FLAIR MRI.
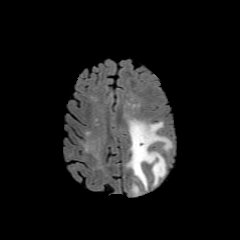
T1-weighted MR image.
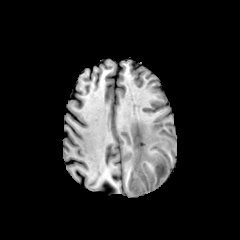
Post-contrast T1-weighted MR.
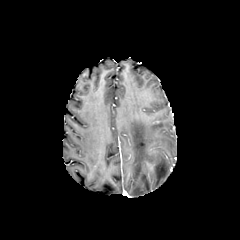
T2-weighted MRI.
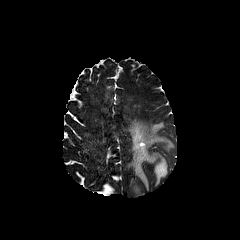
Head | Axial slice
2 peritumoral edema regions are bounded by [132,184,139,194], [127,119,173,189].